FLAIR MRI.
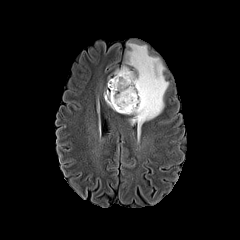
T1-weighted MR.
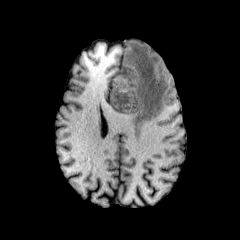
Post-contrast T1-weighted MRI.
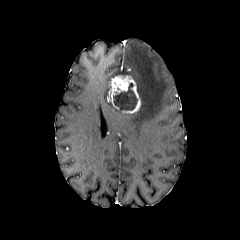
T2-weighted MR.
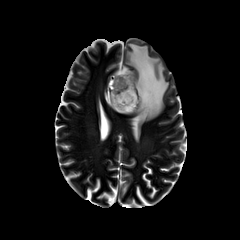
Head. Axial slice.
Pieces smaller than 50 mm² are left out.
<segmentation>
  <necrotic_tumor_core>[x1=113, y1=83, x2=137, y2=111]</necrotic_tumor_core>
  <enhancing_tumor>[x1=107, y1=75, x2=141, y2=113]</enhancing_tumor>
  <peritumoral_edema>[x1=104, y1=90, x2=121, y2=113], [x1=114, y1=43, x2=168, y2=130]</peritumoral_edema>
</segmentation>